Image size 240x240. Slice 65 of 155.
FLAIR MR.
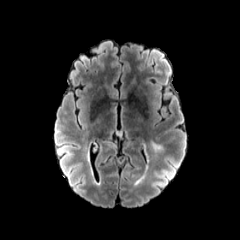
T1-weighted MR.
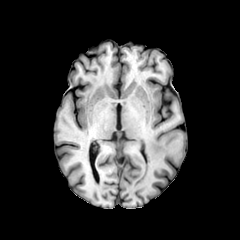
Post-contrast T1-weighted MR image.
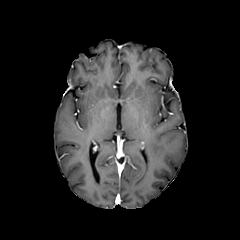
T2-weighted MRI.
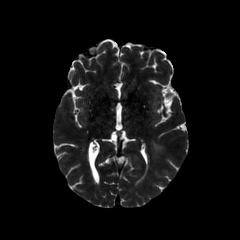
Annotated regions:
- peritumoral edema: (x1=150, y1=141, x2=163, y2=151)